240x240 px
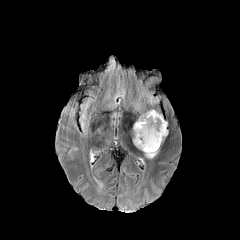
FLAIR magnetic resonance.
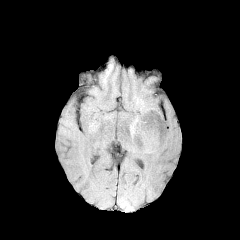
T1-weighted MR image of the same slice.
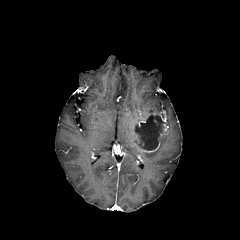
Same slice, post-contrast T1-weighted magnetic resonance.
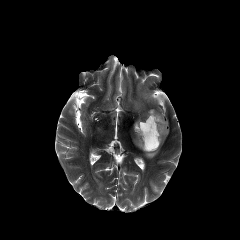
Same slice, T2-weighted MRI.
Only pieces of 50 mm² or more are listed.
Annotated regions:
* enhancing tumor: 134, 112, 168, 152
* necrotic tumor core: 135, 114, 164, 150
* peritumoral edema: 147, 94, 158, 103; 144, 149, 158, 158